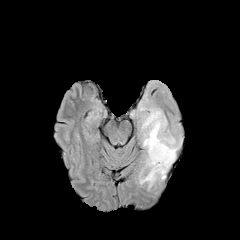
FLAIR magnetic resonance.
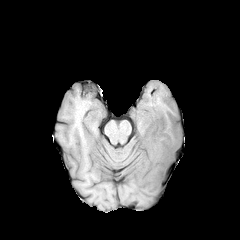
T1-weighted magnetic resonance of the same slice.
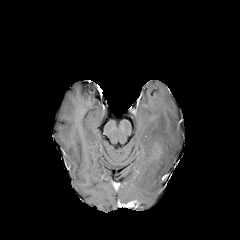
Post-contrast T1-weighted magnetic resonance.
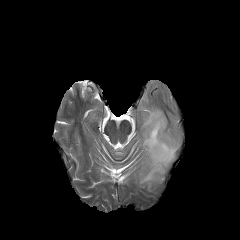
T2-weighted MR.
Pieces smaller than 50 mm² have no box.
{
  "peritumoral_edema": [
    "(x1=139, y1=108, x2=181, y2=189)"
  ]
}